Slice 95 of 155. Image covers 240 mm x 240 mm.
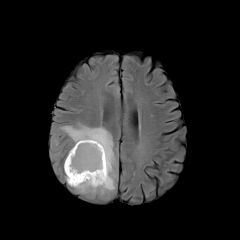
FLAIR MRI.
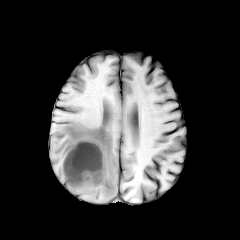
T1-weighted MRI.
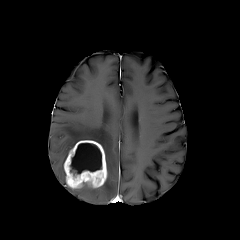
Post-contrast T1-weighted magnetic resonance.
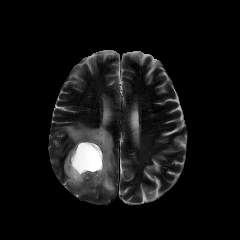
T2-weighted MR of the same slice.
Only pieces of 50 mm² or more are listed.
peritumoral edema at [61,123,116,194]
enhancing tumor at [64,140,107,188]
necrotic tumor core at [70,143,101,176]